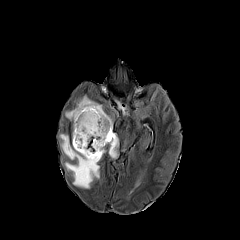
FLAIR MRI.
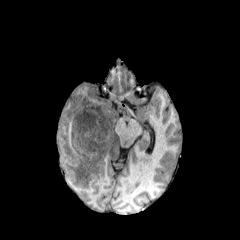
T1-weighted magnetic resonance.
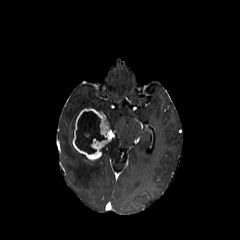
Post-contrast T1-weighted MR image of the same slice.
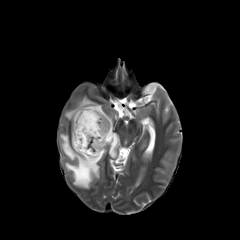
T2-weighted MR image of the same slice.
Head; Axial view
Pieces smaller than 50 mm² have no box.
The largest enhancing tumor region is bounded by box=[72, 107, 114, 160]. The 3 largest peritumoral edema regions appear at box=[59, 134, 101, 188]; box=[65, 95, 112, 139]; box=[107, 134, 118, 158]. The necrotic tumor core appears at box=[75, 111, 106, 153].